240x240 px
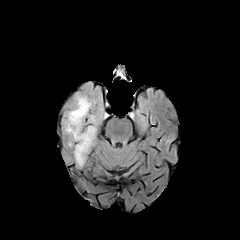
FLAIR magnetic resonance.
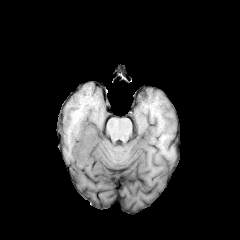
Same slice, T1-weighted MR image.
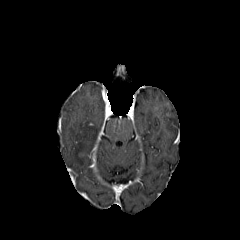
Same slice, post-contrast T1-weighted MR image.
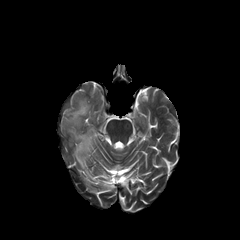
T2-weighted MRI.
The peritumoral edema lies within (x1=61, y1=81, x2=104, y2=169).